FLAIR MR image.
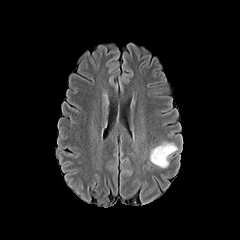
T1-weighted magnetic resonance.
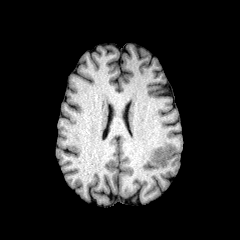
Post-contrast T1-weighted magnetic resonance.
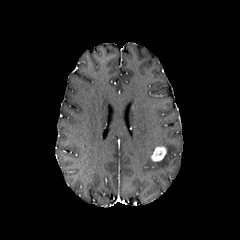
T2-weighted MR image.
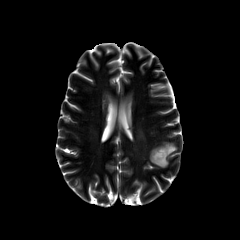
Head | Axial plane
enhancing tumor: <box>151,146,166,161</box>
peritumoral edema: <box>150,142,177,168</box>